240x240 px
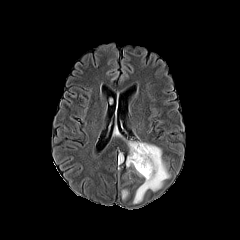
FLAIR magnetic resonance.
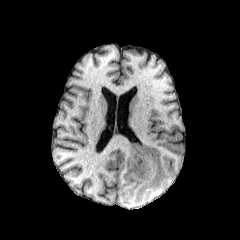
T1-weighted MRI of the same slice.
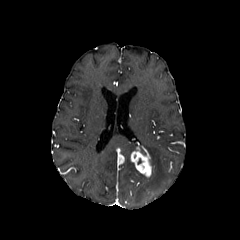
Same slice, post-contrast T1-weighted MR image.
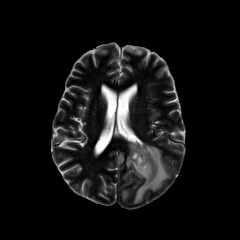
Same slice, T2-weighted magnetic resonance.
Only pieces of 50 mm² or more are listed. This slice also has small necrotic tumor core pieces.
2 enhancing tumor regions are bounded by bbox(130, 144, 151, 177); bbox(118, 154, 123, 164). 3 peritumoral edema regions appear at bbox(128, 142, 137, 154); bbox(122, 190, 127, 199); bbox(126, 143, 170, 203).